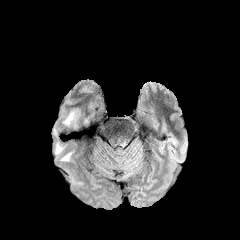
FLAIR MR image.
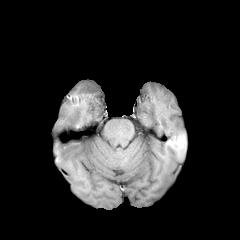
T1-weighted MR of the same slice.
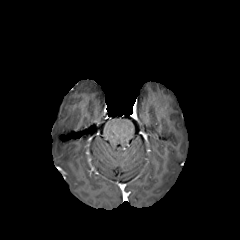
Post-contrast T1-weighted magnetic resonance.
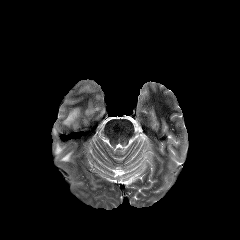
T2-weighted MR of the same slice.
Axial slice | Head
peritumoral edema: 63 110 77 124, 61 152 72 161, 56 144 63 154